FLAIR MRI.
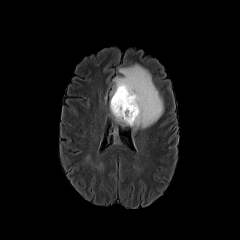
T1-weighted MRI.
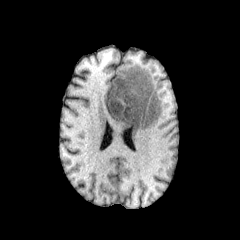
Post-contrast T1-weighted MRI.
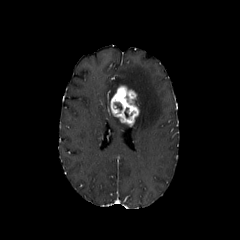
T2-weighted magnetic resonance.
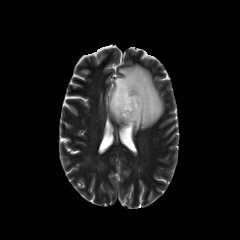
Head
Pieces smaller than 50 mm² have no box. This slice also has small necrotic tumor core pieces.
The 2 largest peritumoral edema regions appear at [110,64,163,130], [114,117,129,128]. The enhancing tumor is located at [110,85,139,126].